Brain, 240x240 px
FLAIR MRI.
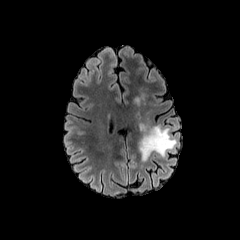
T1-weighted MRI.
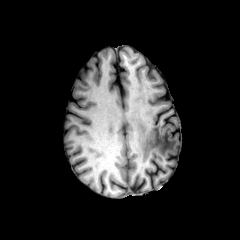
Post-contrast T1-weighted MR image.
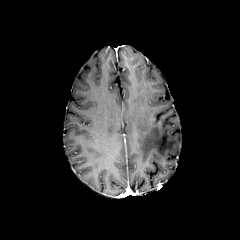
T2-weighted MRI.
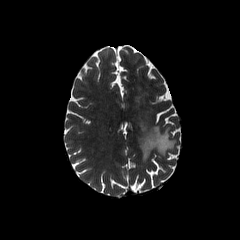
peritumoral edema: [139,124,177,161]